FLAIR MR.
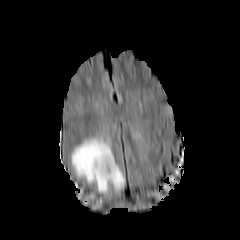
T1-weighted MR.
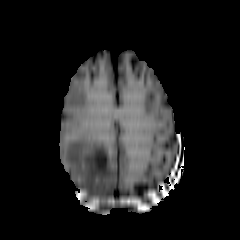
Post-contrast T1-weighted magnetic resonance.
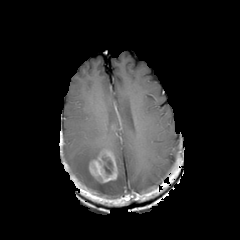
T2-weighted MR.
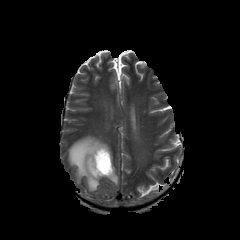
Axial slice | Image size 240x240 | Brain
<segmentation>
  <enhancing_tumor>(left=89, top=149, right=117, bottom=182)</enhancing_tumor>
  <peritumoral_edema>(left=70, top=137, right=124, bottom=193)</peritumoral_edema>
  <necrotic_tumor_core>(left=102, top=157, right=112, bottom=173)</necrotic_tumor_core>
</segmentation>